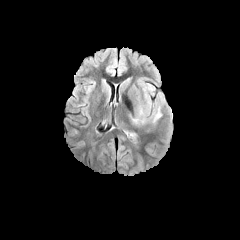
FLAIR MRI.
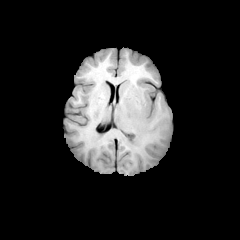
T1-weighted magnetic resonance of the same slice.
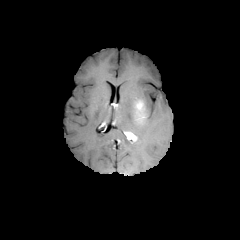
Post-contrast T1-weighted MRI of the same slice.
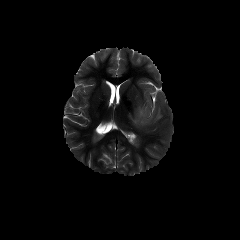
T2-weighted magnetic resonance of the same slice.
{"peritumoral_edema": ["box=[131, 94, 161, 125]"], "enhancing_tumor": ["box=[136, 100, 147, 121]"]}